Image covers 240 mm x 240 mm; Head
FLAIR MRI.
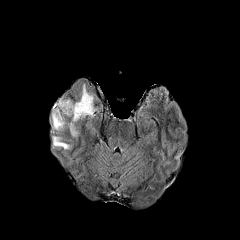
T1-weighted magnetic resonance.
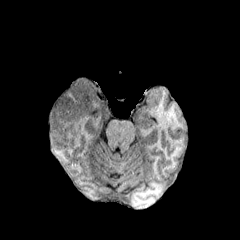
Post-contrast T1-weighted MR image.
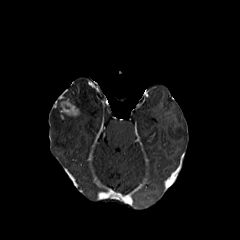
T2-weighted MR image.
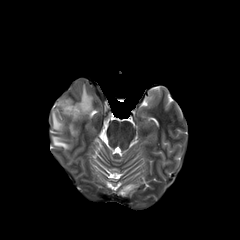
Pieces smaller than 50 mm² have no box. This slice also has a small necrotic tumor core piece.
The 3 largest peritumoral edema regions are located at 51 98 66 130, 52 136 70 149, 69 84 95 136. The enhancing tumor lies within 60 98 80 119.